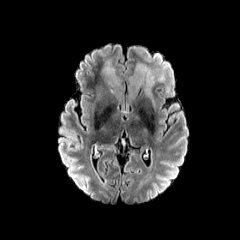
FLAIR MRI.
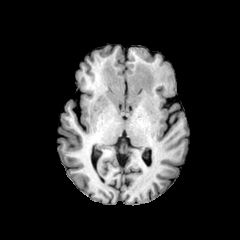
T1-weighted MR of the same slice.
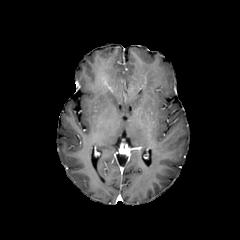
Same slice, post-contrast T1-weighted magnetic resonance.
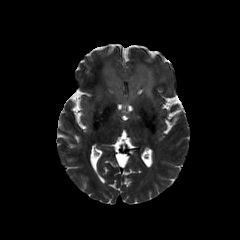
T2-weighted MR image.
240x240 px.
peritumoral_edema:
  - (104, 62, 165, 100)